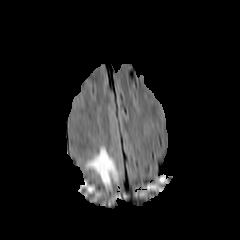
FLAIR MR image.
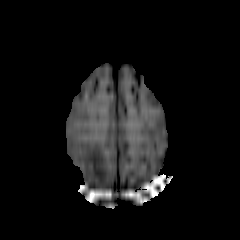
T1-weighted MRI of the same slice.
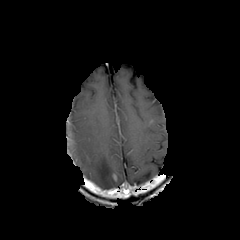
Post-contrast T1-weighted MR.
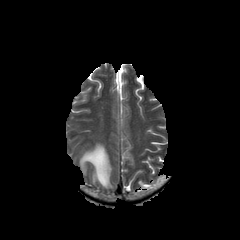
T2-weighted MRI of the same slice.
peritumoral edema: bbox=[85, 145, 117, 188]